FLAIR MR.
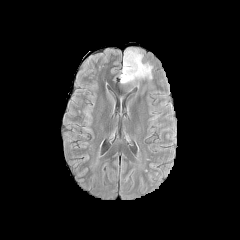
T1-weighted MR.
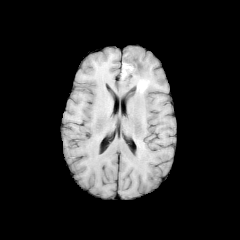
Post-contrast T1-weighted MRI.
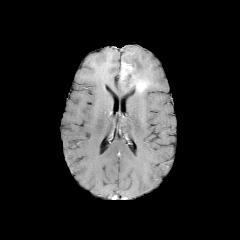
T2-weighted MR.
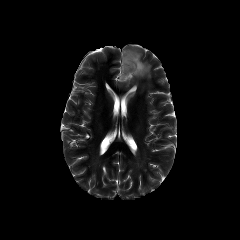
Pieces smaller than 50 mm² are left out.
* enhancing tumor: [x1=135, y1=82, x2=145, y2=89], [x1=120, y1=62, x2=133, y2=80]
* peritumoral edema: [x1=120, y1=48, x2=152, y2=85]
* necrotic tumor core: [x1=121, y1=51, x2=138, y2=81]